Axial view, Brain
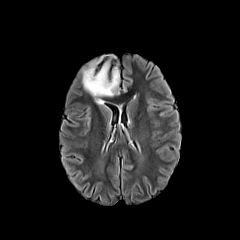
FLAIR magnetic resonance.
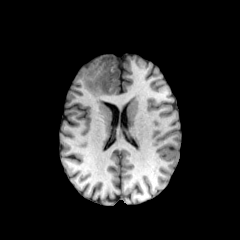
Same slice, T1-weighted magnetic resonance.
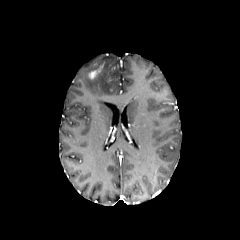
Post-contrast T1-weighted MR.
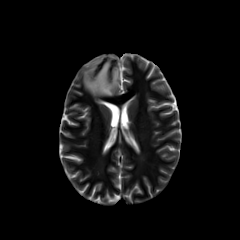
T2-weighted MR image of the same slice.
peritumoral edema: (left=82, top=55, right=119, bottom=105)
enhancing tumor: (left=88, top=70, right=99, bottom=79)